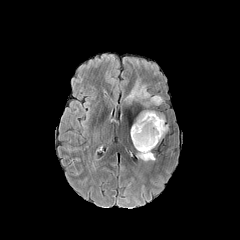
FLAIR MR image.
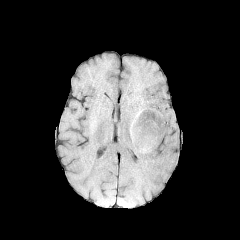
T1-weighted magnetic resonance.
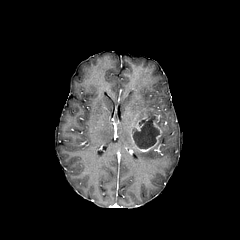
Post-contrast T1-weighted MR.
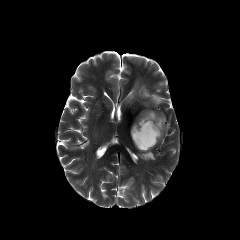
Same slice, T2-weighted magnetic resonance.
Axial view. 240x240 px. Brain.
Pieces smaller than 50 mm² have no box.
{
  "peritumoral_edema": [
    "bbox=[136, 86, 149, 98]",
    "bbox=[159, 114, 168, 141]",
    "bbox=[137, 149, 155, 161]",
    "bbox=[150, 95, 162, 104]",
    "bbox=[136, 110, 158, 122]"
  ],
  "enhancing_tumor": [
    "bbox=[131, 114, 162, 151]"
  ],
  "necrotic_tumor_core": [
    "bbox=[133, 115, 160, 148]"
  ]
}